FLAIR MRI.
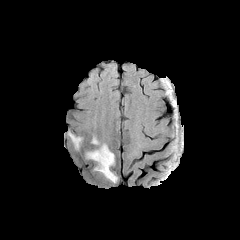
T1-weighted MR image.
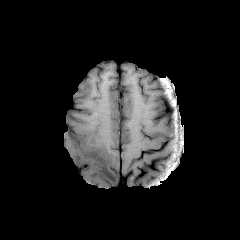
Post-contrast T1-weighted magnetic resonance.
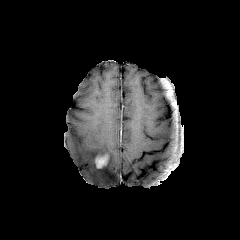
T2-weighted MRI.
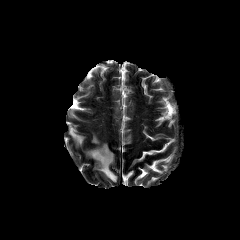
Axial view. Head. 240x240 px.
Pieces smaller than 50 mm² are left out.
peritumoral edema — box=[68, 131, 83, 148]; box=[86, 143, 117, 182]
enhancing tumor — box=[95, 155, 108, 168]